Brain
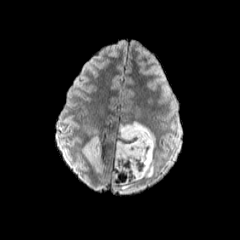
FLAIR MRI.
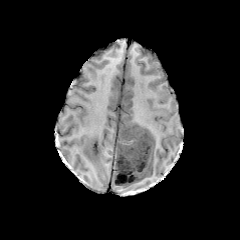
T1-weighted MRI.
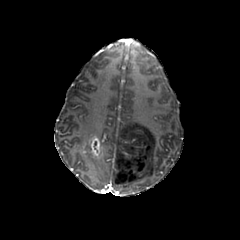
Post-contrast T1-weighted MRI.
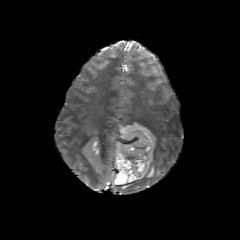
Same slice, T2-weighted MRI.
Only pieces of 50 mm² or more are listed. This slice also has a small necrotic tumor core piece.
Findings:
* peritumoral edema: 81,138,91,153; 89,158,103,171; 114,120,155,189
* enhancing tumor: 83,135,101,160